Axial view, Brain
FLAIR MR.
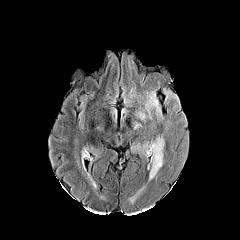
T1-weighted MRI.
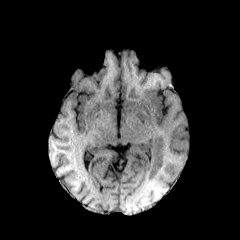
Post-contrast T1-weighted MR.
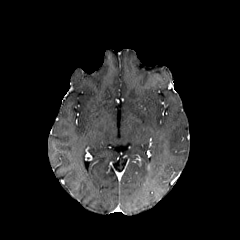
T2-weighted MR.
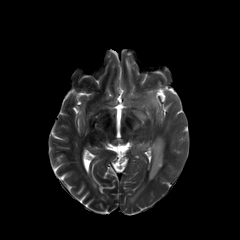
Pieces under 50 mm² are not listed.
<segmentation>
  <peritumoral_edema>(136,137,164,180)</peritumoral_edema>
</segmentation>